Head | Axial view
FLAIR MR image.
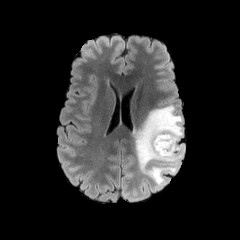
T1-weighted magnetic resonance.
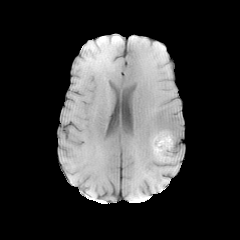
Post-contrast T1-weighted MR image.
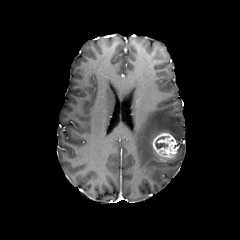
T2-weighted MRI.
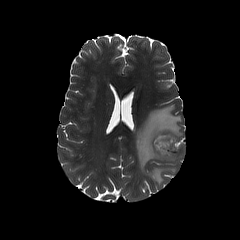
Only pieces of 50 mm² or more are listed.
necrotic_tumor_core:
  - 155,141,167,148
enhancing_tumor:
  - 152,132,179,161
peritumoral_edema:
  - 134,105,184,187